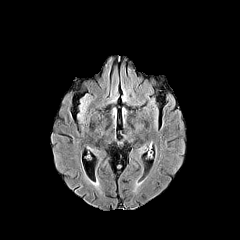
FLAIR MR image.
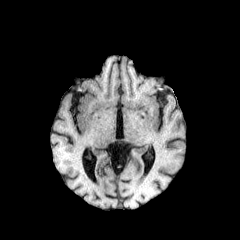
T1-weighted MR image of the same slice.
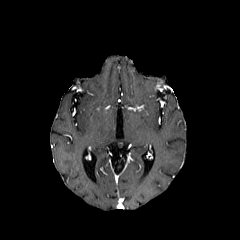
Same slice, post-contrast T1-weighted MR.
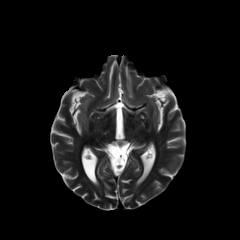
T2-weighted MR image.
Axial plane
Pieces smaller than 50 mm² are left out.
peritumoral edema: bounding box [81,100,87,112]